Image width 240 mm, 1.00 mm slice spacing | Brain | Axial slice
FLAIR MRI.
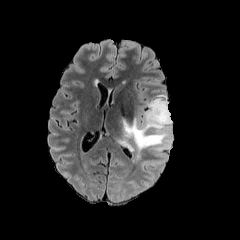
T1-weighted MRI.
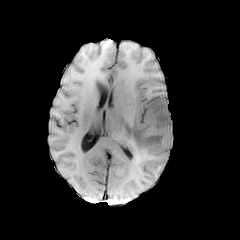
Post-contrast T1-weighted MR image.
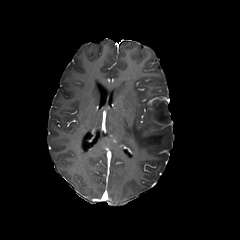
T2-weighted MRI.
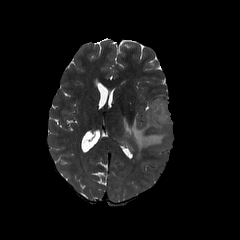
{
  "peritumoral_edema": [
    "117 95 172 168"
  ]
}